FLAIR MR.
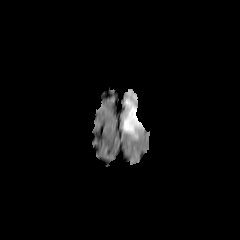
T1-weighted magnetic resonance.
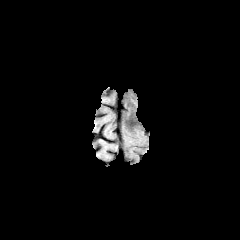
Post-contrast T1-weighted MRI.
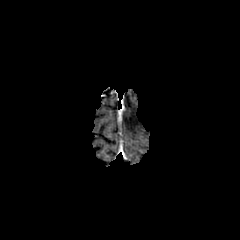
T2-weighted MRI.
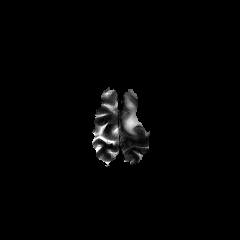
Axial plane.
<segmentation>
  <peritumoral_edema><box>123,97,142,136</box></peritumoral_edema>
</segmentation>